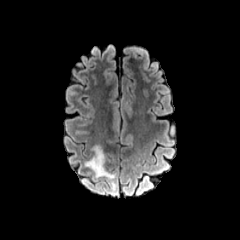
FLAIR MRI.
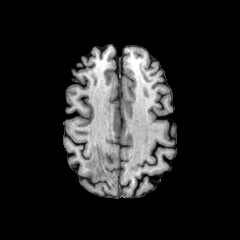
T1-weighted magnetic resonance.
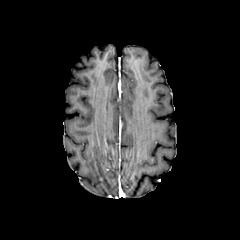
Same slice, post-contrast T1-weighted MRI.
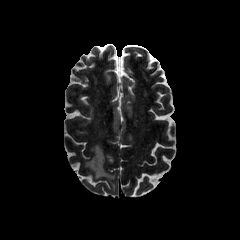
T2-weighted MR.
240x240 px, Brain
The peritumoral edema is located at bbox(84, 145, 116, 189).